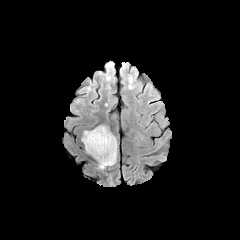
FLAIR MR image.
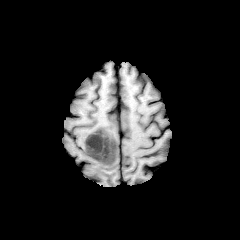
T1-weighted magnetic resonance of the same slice.
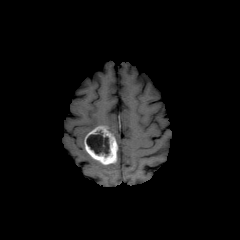
Post-contrast T1-weighted MRI.
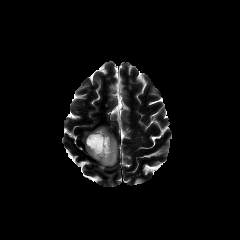
T2-weighted MRI.
240x240 px. Brain.
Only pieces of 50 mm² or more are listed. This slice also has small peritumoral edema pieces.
<segmentation>
  <enhancing_tumor>bbox=[84, 126, 117, 164]</enhancing_tumor>
  <necrotic_tumor_core>bbox=[86, 130, 109, 154]</necrotic_tumor_core>
</segmentation>